Head, Slice 54 of 155, Axial view
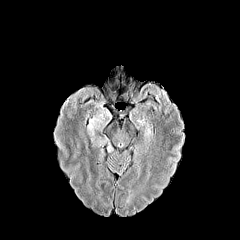
FLAIR MRI.
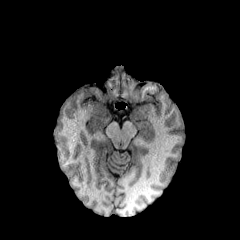
T1-weighted MR image.
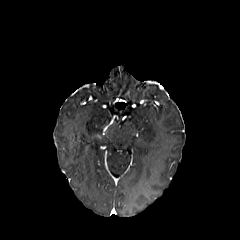
Post-contrast T1-weighted MRI of the same slice.
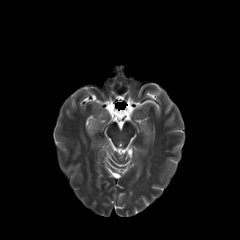
T2-weighted MRI of the same slice.
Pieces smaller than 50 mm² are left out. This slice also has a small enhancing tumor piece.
2 peritumoral edema regions are bounded by rect(87, 114, 112, 152); rect(98, 148, 105, 162).